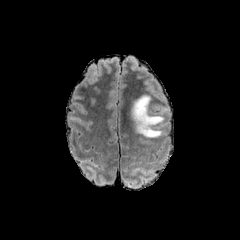
FLAIR magnetic resonance.
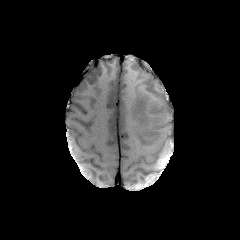
Same slice, T1-weighted MRI.
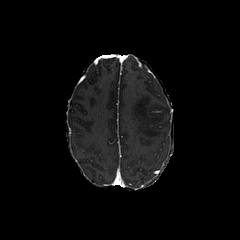
Post-contrast T1-weighted MR of the same slice.
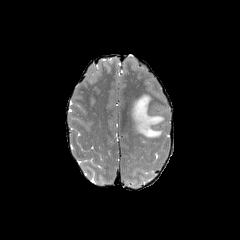
T2-weighted MRI.
240x240. Brain.
The peritumoral edema is bounded by <box>131,94,163,137</box>.